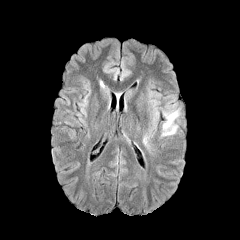
FLAIR MR image.
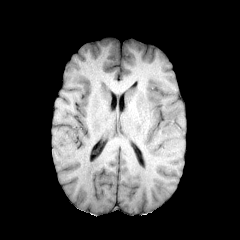
T1-weighted MRI of the same slice.
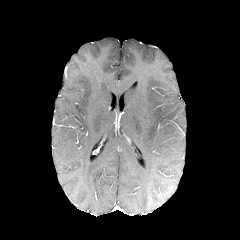
Post-contrast T1-weighted MR.
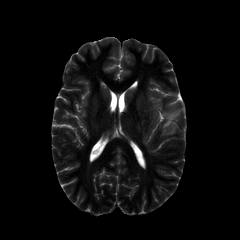
Same slice, T2-weighted MR image.
240x240 px | Axial plane | Brain
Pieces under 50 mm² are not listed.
{
  "peritumoral_edema": [
    "x1=162, y1=105, x2=179, y2=135"
  ]
}